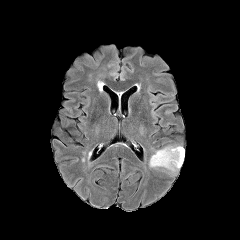
FLAIR MRI.
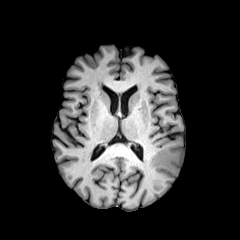
Same slice, T1-weighted MR image.
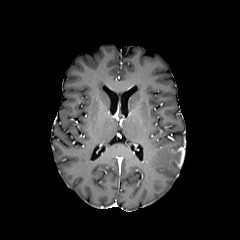
Same slice, post-contrast T1-weighted MR image.
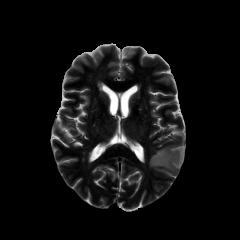
Same slice, T2-weighted MR.
Image size 240x240. Head.
enhancing tumor: 171 147 184 167
peritumoral edema: 149 145 181 175